FLAIR MRI.
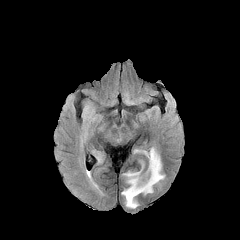
T1-weighted MR image.
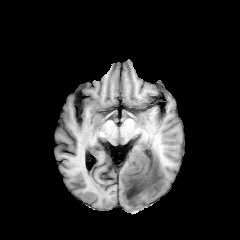
Post-contrast T1-weighted MR.
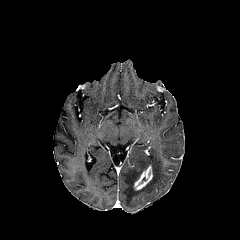
T2-weighted MRI.
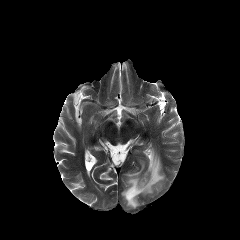
Head, Axial plane
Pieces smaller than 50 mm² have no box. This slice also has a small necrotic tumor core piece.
Findings:
• peritumoral edema: rect(121, 147, 165, 208)
• enhancing tumor: rect(133, 165, 152, 190)